FLAIR MR image.
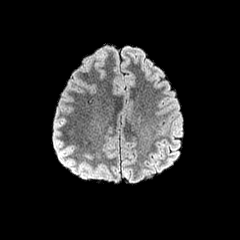
T1-weighted MR.
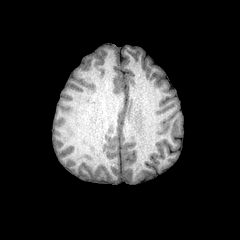
Post-contrast T1-weighted MR.
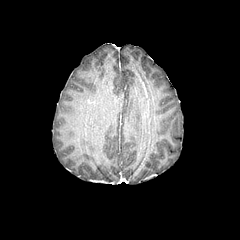
T2-weighted MR.
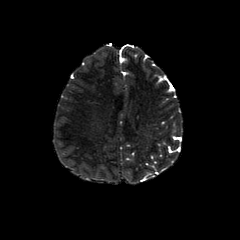
Head; Axial slice
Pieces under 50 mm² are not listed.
peritumoral edema at <bbox>95, 50, 106, 58</bbox>